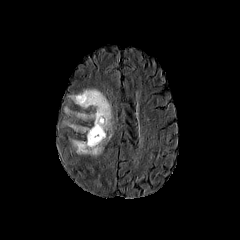
FLAIR MRI.
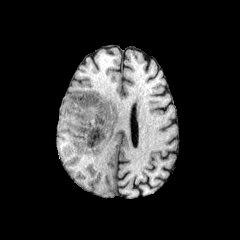
T1-weighted MRI.
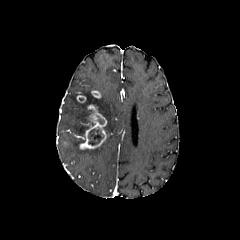
Post-contrast T1-weighted MR image.
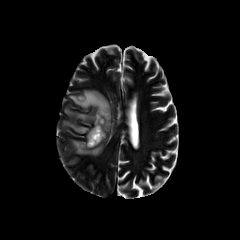
Same slice, T2-weighted MR image.
Axial view. 240x240. Head.
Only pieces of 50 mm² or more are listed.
The largest necrotic tumor core region appears at (87, 128, 104, 145). The 3 largest enhancing tumor regions are bounded by (91, 90, 101, 98), (77, 95, 86, 102), (79, 104, 107, 149). The 4 largest peritumoral edema regions appear at (69, 89, 113, 132), (64, 107, 86, 120), (71, 139, 106, 156), (63, 121, 88, 132).